Image covers 240 mm x 240 mm | Head
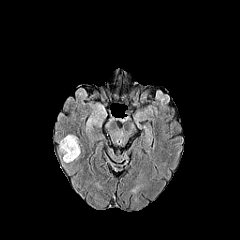
FLAIR MRI.
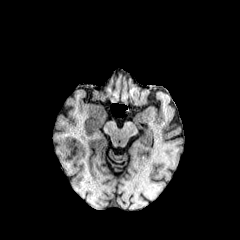
T1-weighted MR image.
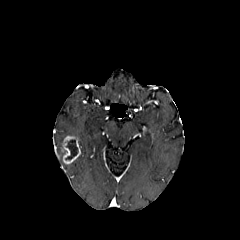
Same slice, post-contrast T1-weighted magnetic resonance.
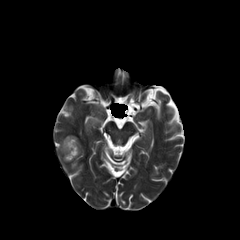
T2-weighted MR image.
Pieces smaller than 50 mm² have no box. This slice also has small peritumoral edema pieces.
enhancing tumor: <bbox>61, 136, 80, 163</bbox>
necrotic tumor core: <bbox>65, 139, 77, 159</bbox>